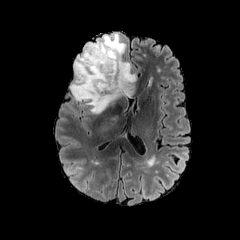
FLAIR MR.
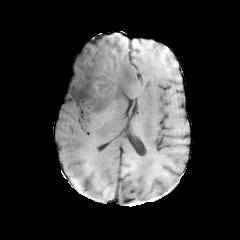
T1-weighted magnetic resonance.
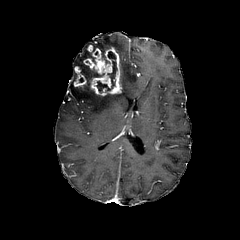
Post-contrast T1-weighted MR image.
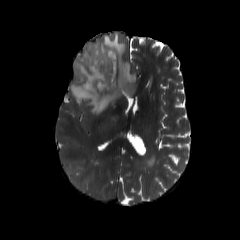
Same slice, T2-weighted MRI.
Head; 240x240 px
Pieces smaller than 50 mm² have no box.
enhancing_tumor:
  - (left=73, top=44, right=122, bottom=96)
peritumoral_edema:
  - (left=70, top=33, right=136, bottom=114)
necrotic_tumor_core:
  - (left=97, top=81, right=110, bottom=91)
  - (left=81, top=65, right=102, bottom=88)
  - (left=108, top=61, right=117, bottom=88)